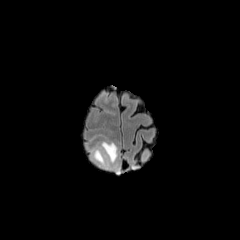
FLAIR MR.
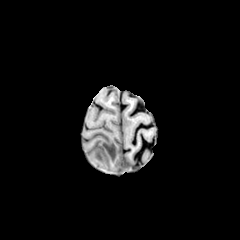
T1-weighted MR.
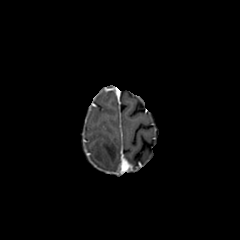
Post-contrast T1-weighted MR image of the same slice.
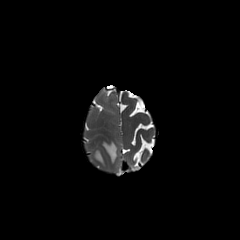
T2-weighted MR image.
Segmented structures:
- peritumoral edema: [93,141,117,167]